FLAIR MRI.
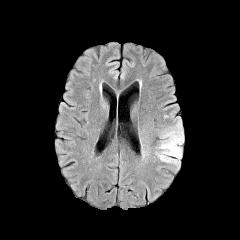
T1-weighted MR.
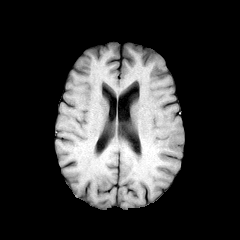
Post-contrast T1-weighted magnetic resonance.
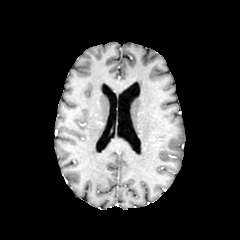
T2-weighted MRI.
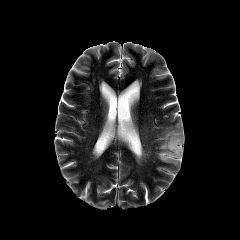
Head. Axial view.
peritumoral edema = [x1=158, y1=121, x2=183, y2=164]